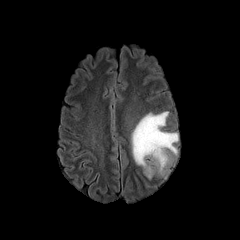
FLAIR MRI.
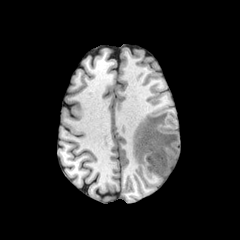
Same slice, T1-weighted magnetic resonance.
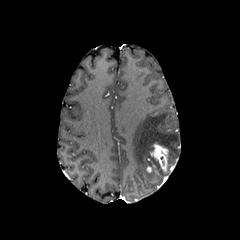
Post-contrast T1-weighted MR of the same slice.
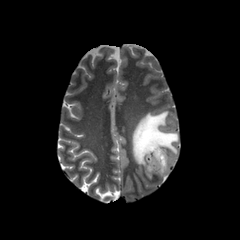
T2-weighted magnetic resonance.
Head; 240x240
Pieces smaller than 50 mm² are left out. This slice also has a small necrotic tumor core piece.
Findings:
- peritumoral edema: {"x1": 131, "y1": 111, "x2": 178, "y2": 178}
- enhancing tumor: {"x1": 146, "y1": 162, "x2": 157, "y2": 173}, {"x1": 150, "y1": 142, "x2": 174, "y2": 173}